240x240 px, Slice 101 of 155, Axial plane
FLAIR magnetic resonance.
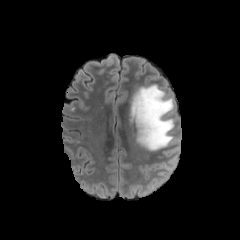
T1-weighted MRI.
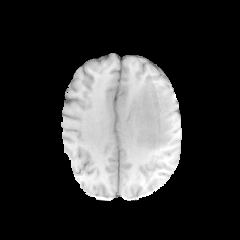
Post-contrast T1-weighted magnetic resonance.
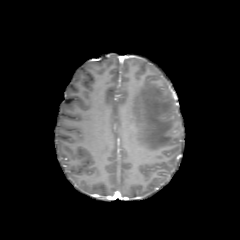
T2-weighted MR.
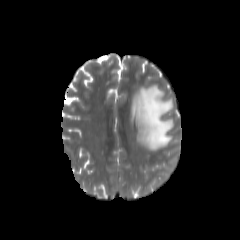
Findings:
- peritumoral edema: box(130, 85, 174, 150)